240x240 px, Axial plane
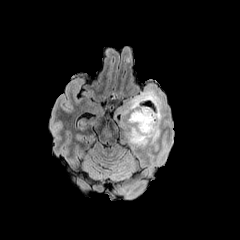
FLAIR MR image.
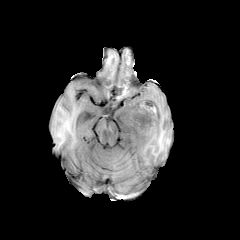
T1-weighted MR image.
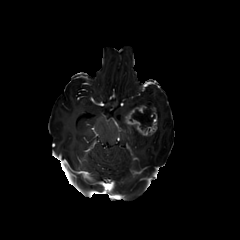
Post-contrast T1-weighted MRI of the same slice.
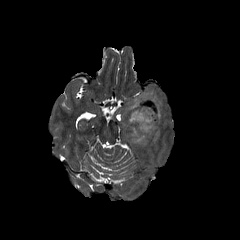
Same slice, T2-weighted magnetic resonance.
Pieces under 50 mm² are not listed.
Annotated regions:
- necrotic tumor core: {"x1": 132, "y1": 107, "x2": 155, "y2": 129}
- enhancing tumor: {"x1": 123, "y1": 105, "x2": 158, "y2": 136}
- peritumoral edema: {"x1": 121, "y1": 90, "x2": 161, "y2": 146}